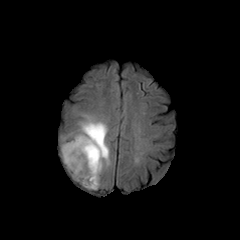
FLAIR magnetic resonance.
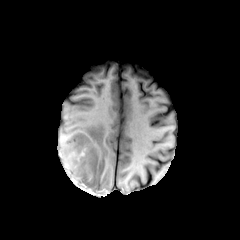
T1-weighted MRI of the same slice.
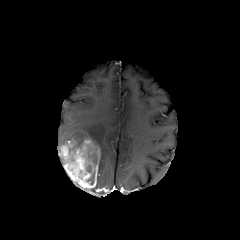
Post-contrast T1-weighted MRI.
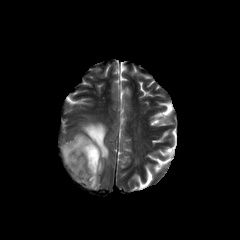
Same slice, T2-weighted MR.
Axial slice, Head
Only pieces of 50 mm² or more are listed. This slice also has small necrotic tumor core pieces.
Findings:
• peritumoral edema: {"x1": 60, "y1": 142, "x2": 74, "y2": 163}, {"x1": 73, "y1": 117, "x2": 109, "y2": 189}
• enhancing tumor: {"x1": 64, "y1": 138, "x2": 100, "y2": 189}, {"x1": 60, "y1": 145, "x2": 68, "y2": 156}